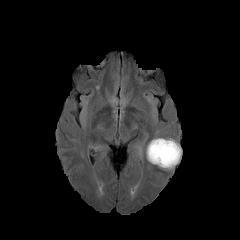
FLAIR MRI.
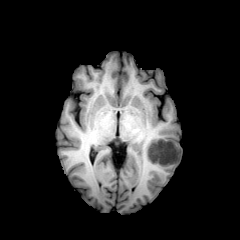
Same slice, T1-weighted MR image.
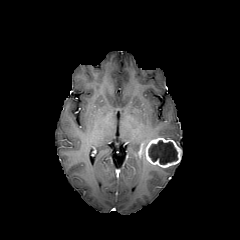
Post-contrast T1-weighted MR image.
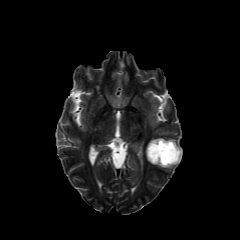
T2-weighted MRI.
Head, 240x240 px
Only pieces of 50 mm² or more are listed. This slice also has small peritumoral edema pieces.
Segmented structures:
- enhancing tumor: region(145, 138, 181, 167)
- necrotic tumor core: region(148, 140, 177, 164)